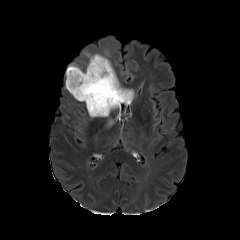
FLAIR MR.
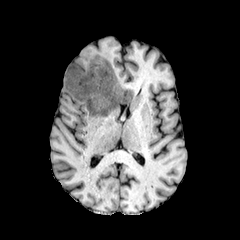
T1-weighted MRI.
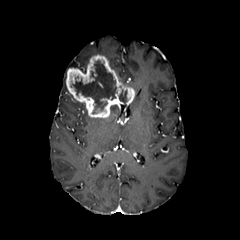
Same slice, post-contrast T1-weighted MRI.
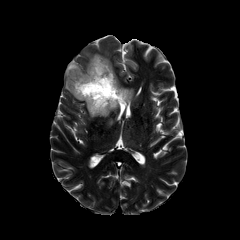
Same slice, T2-weighted magnetic resonance.
Axial slice.
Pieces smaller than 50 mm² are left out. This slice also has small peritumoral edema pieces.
2 necrotic tumor core regions appear at {"x1": 119, "y1": 90, "x2": 126, "y2": 102}, {"x1": 72, "y1": 60, "x2": 116, "y2": 113}. The largest enhancing tumor region is located at {"x1": 66, "y1": 54, "x2": 134, "y2": 117}.